Head.
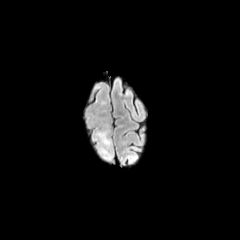
FLAIR magnetic resonance.
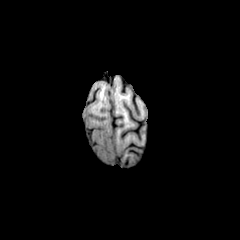
T1-weighted MR.
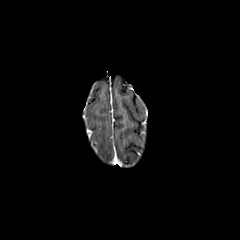
Post-contrast T1-weighted MR image.
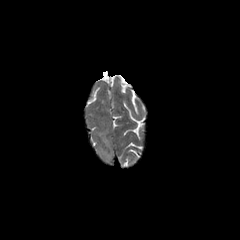
T2-weighted magnetic resonance of the same slice.
• peritumoral edema: rect(95, 128, 112, 160)